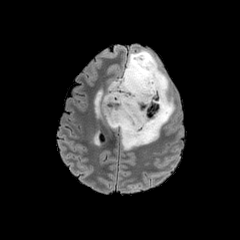
FLAIR MRI.
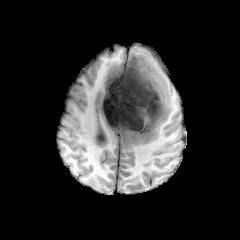
Same slice, T1-weighted MR.
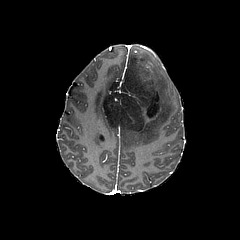
Post-contrast T1-weighted MR image of the same slice.
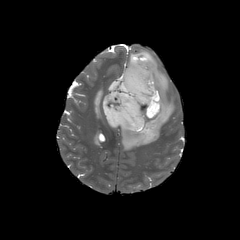
Same slice, T2-weighted magnetic resonance.
240x240 px. Brain.
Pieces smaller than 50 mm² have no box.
The necrotic tumor core appears at (103,58,163,132). The 2 largest peritumoral edema regions are located at (94,89,104,117), (120,49,174,149).